Axial view
FLAIR MRI.
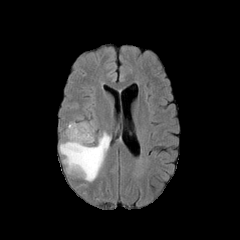
T1-weighted MRI.
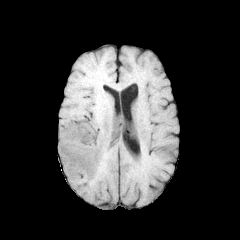
Post-contrast T1-weighted MR.
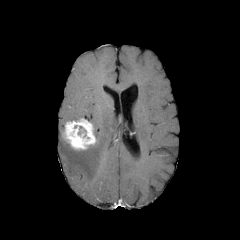
T2-weighted MRI.
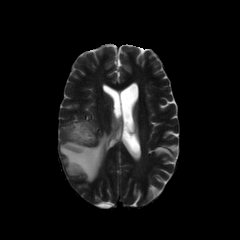
Annotated regions:
• enhancing tumor: (63,119,96,149)
• peritumoral edema: (59,131,111,181)